Head | 240x240 px | Image width 240 mm, 1.00 mm slice spacing
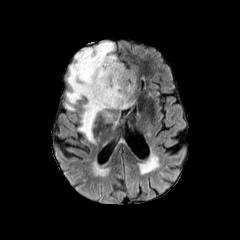
FLAIR MRI.
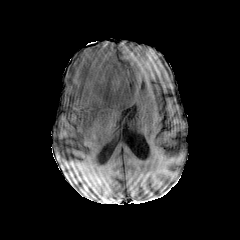
Same slice, T1-weighted MR.
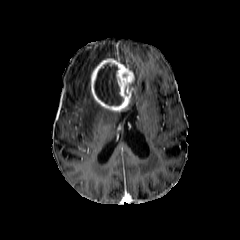
Post-contrast T1-weighted magnetic resonance of the same slice.
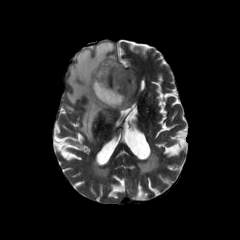
T2-weighted MR image.
2 peritumoral edema regions appear at [129, 75, 136, 105], [64, 42, 118, 141]. The necrotic tumor core is at [95, 64, 122, 105]. The enhancing tumor is located at [90, 58, 134, 112].